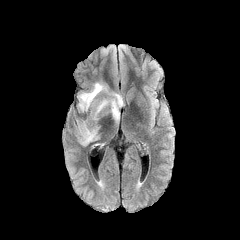
FLAIR magnetic resonance.
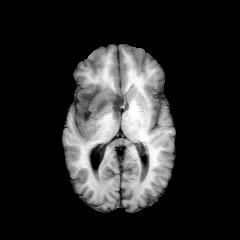
T1-weighted MR.
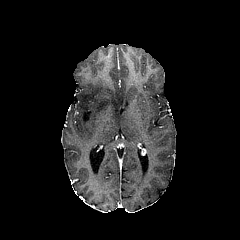
Post-contrast T1-weighted MRI.
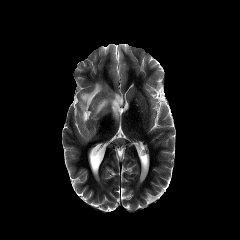
T2-weighted MR of the same slice.
Brain.
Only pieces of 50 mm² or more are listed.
The largest peritumoral edema region lies within box=[76, 82, 123, 145].